FLAIR MR image.
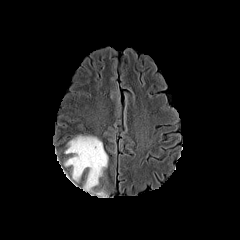
T1-weighted MR image.
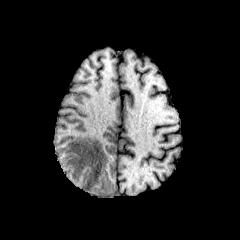
Post-contrast T1-weighted MR.
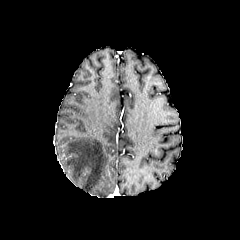
T2-weighted MR.
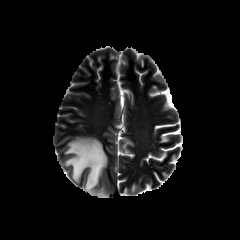
Axial plane. 240x240 px. Head.
peritumoral_edema:
  - (x1=64, y1=136, x2=107, y2=197)